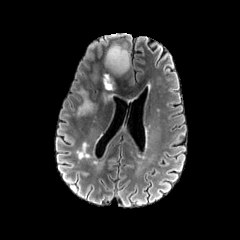
FLAIR MR image.
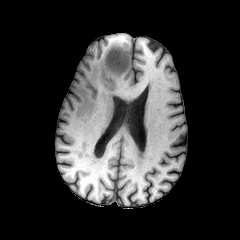
T1-weighted MRI of the same slice.
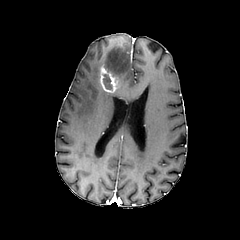
Same slice, post-contrast T1-weighted magnetic resonance.
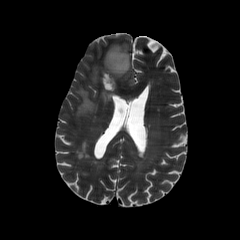
T2-weighted MRI.
Brain
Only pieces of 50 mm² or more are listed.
{
  "enhancing_tumor": [
    "bbox=[100, 66, 118, 92]"
  ],
  "peritumoral_edema": [
    "bbox=[104, 45, 129, 76]",
    "bbox=[77, 89, 94, 116]",
    "bbox=[102, 91, 113, 102]"
  ],
  "necrotic_tumor_core": [
    "bbox=[103, 74, 111, 89]"
  ]
}